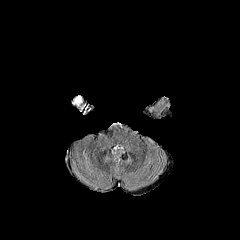
FLAIR MR image.
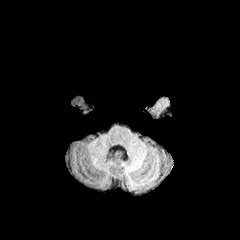
T1-weighted magnetic resonance.
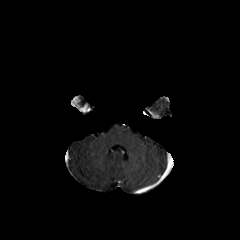
Post-contrast T1-weighted MR of the same slice.
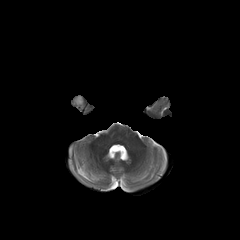
T2-weighted MR of the same slice.
Axial slice; 240x240 px
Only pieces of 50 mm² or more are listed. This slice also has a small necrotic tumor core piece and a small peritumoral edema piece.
The enhancing tumor appears at [71, 96, 86, 111].